Head. Slice 70 of 155. Image width 240 mm, 1.00 mm slice spacing.
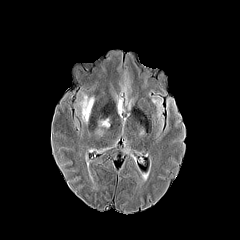
FLAIR magnetic resonance.
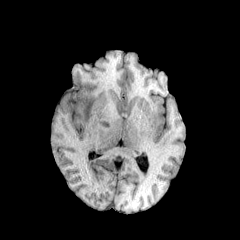
T1-weighted MRI.
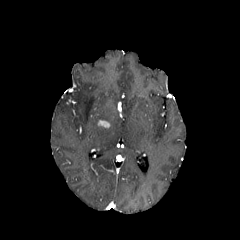
Post-contrast T1-weighted magnetic resonance.
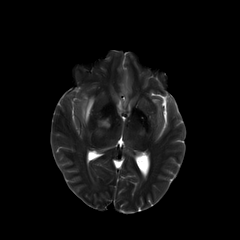
T2-weighted magnetic resonance.
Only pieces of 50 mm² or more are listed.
Segmented structures:
- peritumoral edema: l=82, t=96, r=94, b=122
- enhancing tumor: l=98, t=120, r=109, b=127